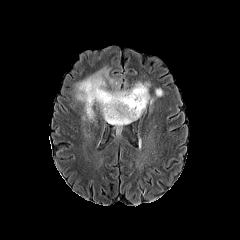
FLAIR MR image.
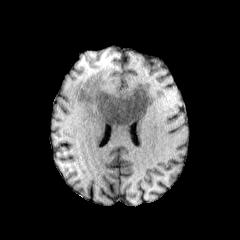
Same slice, T1-weighted MR.
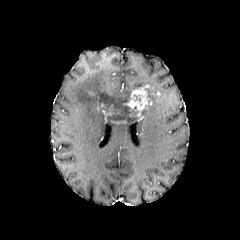
Post-contrast T1-weighted MR image.
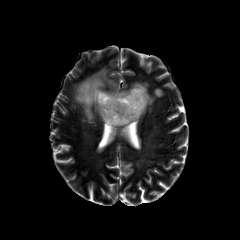
T2-weighted MRI.
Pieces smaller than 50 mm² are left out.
Annotated regions:
* enhancing tumor: <bbox>124, 85, 151, 117</bbox>
* peritumoral edema: <bbox>107, 117, 138, 134</bbox>, <bbox>76, 68, 149, 120</bbox>
* necrotic tumor core: <bbox>98, 103, 138, 124</bbox>